Head, Axial plane, 240x240 px
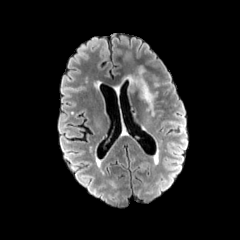
FLAIR MR image.
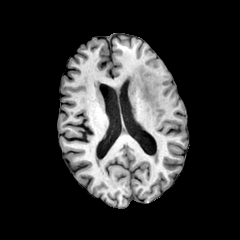
T1-weighted MRI.
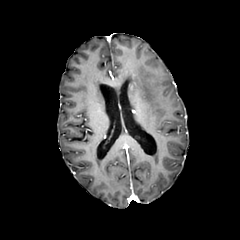
Post-contrast T1-weighted magnetic resonance of the same slice.
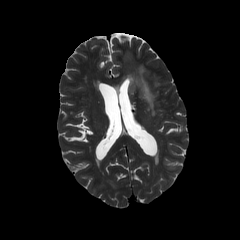
T2-weighted MR.
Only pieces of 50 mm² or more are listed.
peritumoral edema = x1=127, y1=66, x2=155, y2=115